FLAIR MR image.
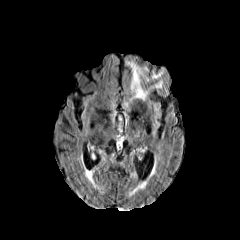
T1-weighted MRI.
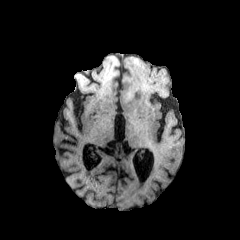
Post-contrast T1-weighted MRI.
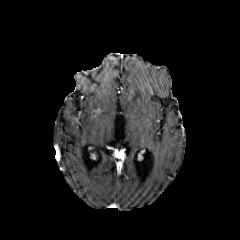
T2-weighted MRI.
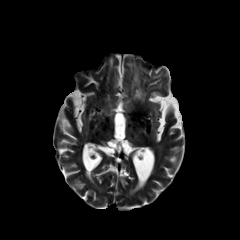
Brain.
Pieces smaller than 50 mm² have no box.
peritumoral edema: <bbox>127, 62, 147, 100</bbox>, <bbox>155, 80, 162, 88</bbox>, <bbox>152, 71, 162, 79</bbox>